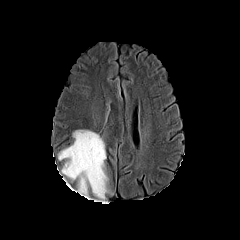
FLAIR magnetic resonance.
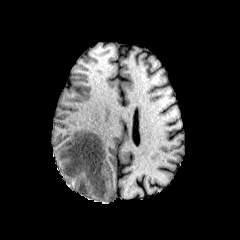
T1-weighted MR.
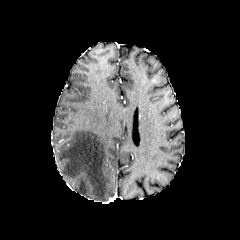
Post-contrast T1-weighted MR.
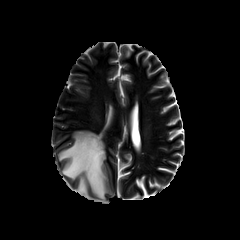
T2-weighted MR image.
Axial slice. Head.
peritumoral edema: <box>58,130,109,201</box>